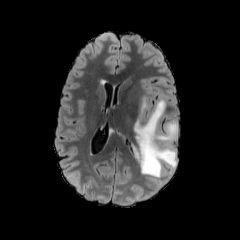
FLAIR MR.
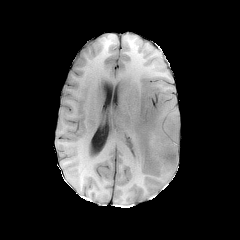
T1-weighted MRI.
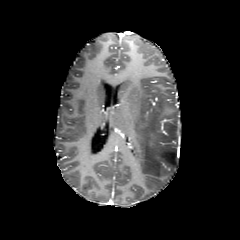
Post-contrast T1-weighted MR image.
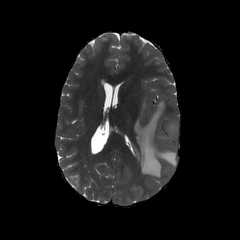
T2-weighted MR image.
Head
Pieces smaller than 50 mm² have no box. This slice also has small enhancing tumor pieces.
peritumoral_edema:
  - (left=140, top=98, right=146, bottom=117)
  - (left=134, top=99, right=178, bottom=178)